FLAIR MR image.
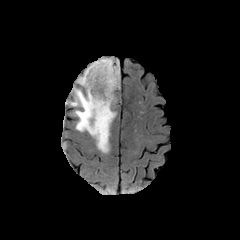
T1-weighted magnetic resonance.
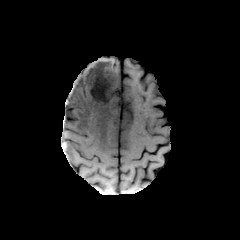
Post-contrast T1-weighted MR image.
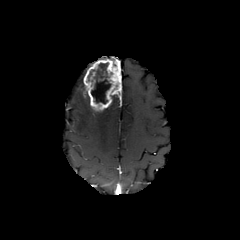
T2-weighted magnetic resonance.
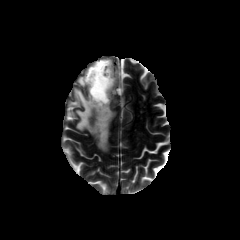
240x240; Axial view
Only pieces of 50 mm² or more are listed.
Findings:
• peritumoral edema: (67,62,117,153)
• necrotic tumor core: (91,63,110,103)
• enhancing tumor: (83,58,121,112)